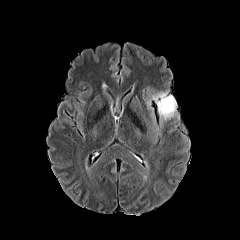
FLAIR MR image.
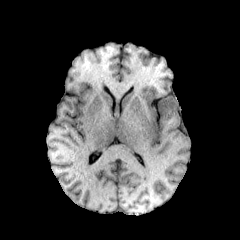
T1-weighted MR image.
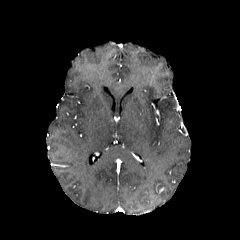
Post-contrast T1-weighted MR.
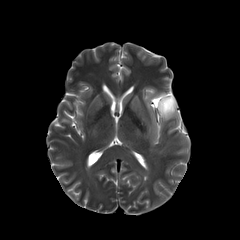
Same slice, T2-weighted magnetic resonance.
Image size 240x240 | Axial view
<segmentation>
  <peritumoral_edema>[157, 92, 177, 119]</peritumoral_edema>
</segmentation>